Head. Axial slice.
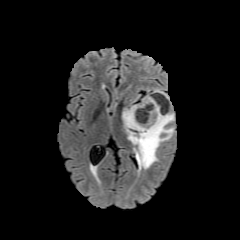
FLAIR MR.
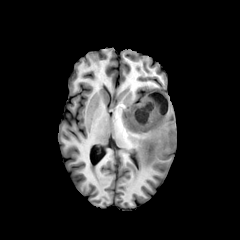
T1-weighted MR.
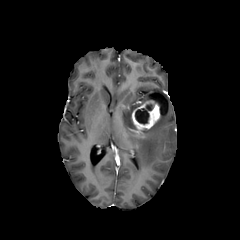
Same slice, post-contrast T1-weighted MR.
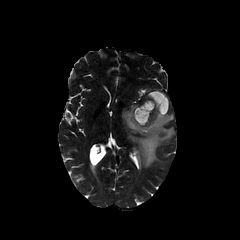
T2-weighted MRI.
{
  "necrotic_tumor_core": [
    "135,104,152,124"
  ],
  "peritumoral_edema": [
    "122,90,174,169"
  ],
  "enhancing_tumor": [
    "132,100,160,133"
  ]
}